FLAIR magnetic resonance.
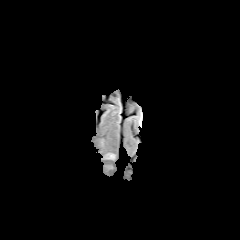
T1-weighted MR.
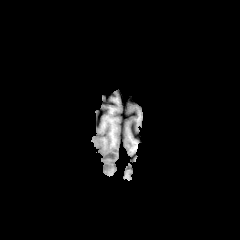
Post-contrast T1-weighted MR image.
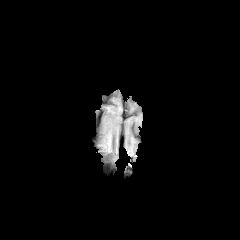
T2-weighted MRI.
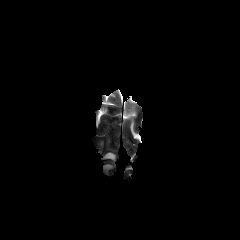
peritumoral edema — [103,164,112,174], [103,153,114,160]